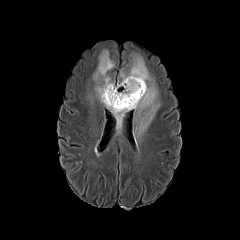
FLAIR MR image.
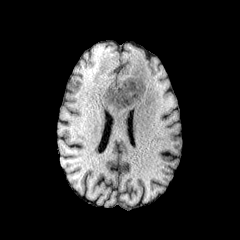
T1-weighted MR image of the same slice.
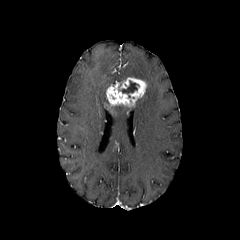
Post-contrast T1-weighted MR.
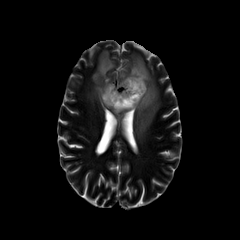
Same slice, T2-weighted MRI.
Axial view; Head
enhancing tumor at [x1=106, y1=77, x2=146, y2=108]
necrotic tumor core at [x1=122, y1=81, x2=137, y2=93]
peritumoral edema at [x1=119, y1=55, x2=159, y2=137], [x1=93, y1=50, x2=132, y2=129]